FLAIR magnetic resonance.
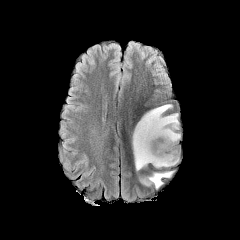
T1-weighted MR.
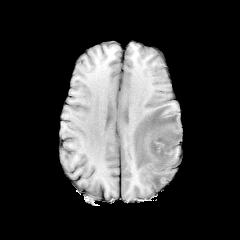
Post-contrast T1-weighted magnetic resonance.
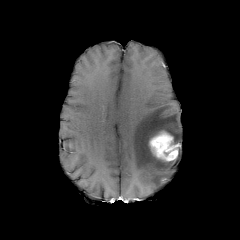
T2-weighted MR image.
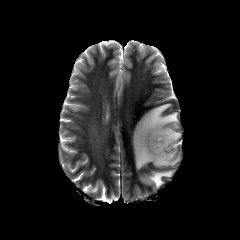
Image size 240x240
2 peritumoral edema regions are located at bbox=[132, 104, 180, 170]; bbox=[140, 171, 173, 188]. The enhancing tumor is bounded by bbox=[149, 130, 179, 161].